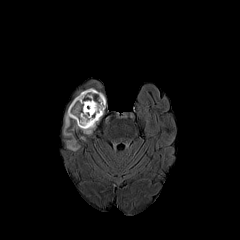
FLAIR MR image.
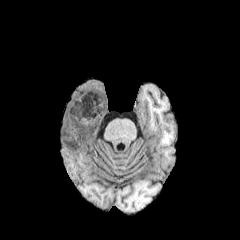
T1-weighted MRI of the same slice.
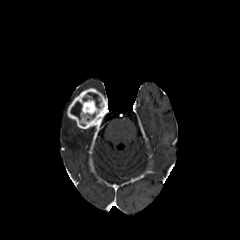
Post-contrast T1-weighted MR.
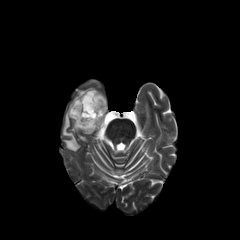
Same slice, T2-weighted MR image.
Axial plane; Brain
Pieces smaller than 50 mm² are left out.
Annotated regions:
- necrotic tumor core: (x1=87, y1=92, x2=99, y2=107), (x1=71, y1=101, x2=81, y2=119)
- enhancing tumor: (x1=67, y1=88, x2=107, y2=129)
- peritumoral edema: (x1=63, y1=113, x2=79, y2=151)